Image covers 240 mm x 240 mm; Axial view; Slice 70/155
FLAIR magnetic resonance.
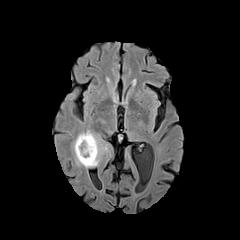
T1-weighted MR.
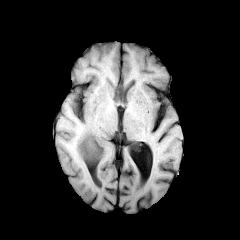
Post-contrast T1-weighted MR.
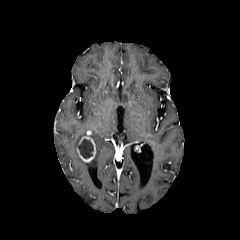
T2-weighted MR.
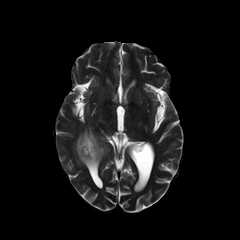
peritumoral_edema:
  - (x1=70, y1=129, x2=111, y2=167)
necrotic_tumor_core:
  - (x1=78, y1=139, x2=93, y2=158)
enhancing_tumor:
  - (x1=77, y1=135, x2=96, y2=162)